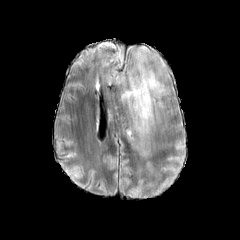
FLAIR magnetic resonance.
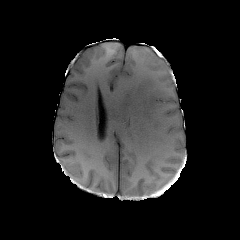
T1-weighted magnetic resonance of the same slice.
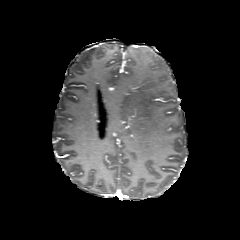
Post-contrast T1-weighted MRI of the same slice.
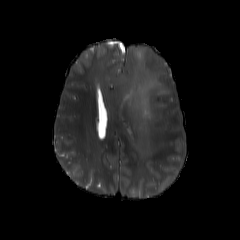
Same slice, T2-weighted MR image.
{
  "peritumoral_edema": [
    "<box>116,63,168,137</box>"
  ]
}